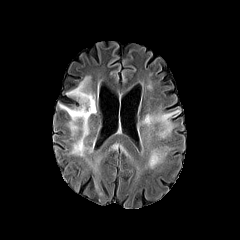
FLAIR MR image.
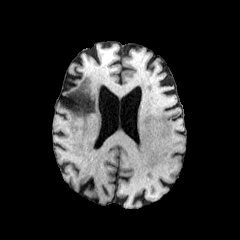
Same slice, T1-weighted MR image.
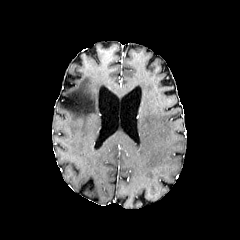
Post-contrast T1-weighted MR.
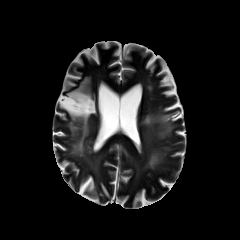
Same slice, T2-weighted MR image.
Image size 240x240. Axial view.
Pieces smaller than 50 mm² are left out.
Findings:
* peritumoral edema: (left=59, top=76, right=96, bottom=157), (left=109, top=144, right=118, bottom=153), (left=143, top=109, right=179, bottom=137), (left=149, top=148, right=165, bottom=168)